Brain; Axial view; 240x240
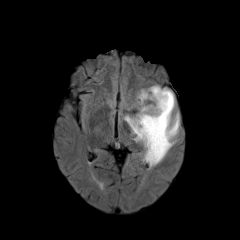
FLAIR MR image.
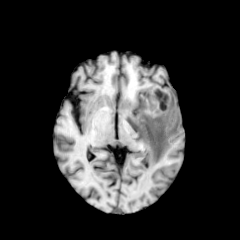
Same slice, T1-weighted magnetic resonance.
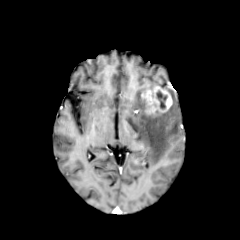
Post-contrast T1-weighted MR of the same slice.
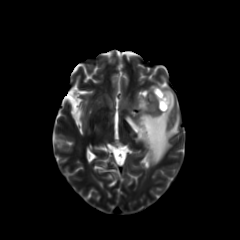
T2-weighted MR.
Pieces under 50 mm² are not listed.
The peritumoral edema is bounded by box=[126, 88, 180, 164]. The largest necrotic tumor core region lies within box=[156, 89, 167, 110]. The enhancing tumor is located at box=[140, 86, 171, 118].